Head | Image size 240x240 | Slice index 93
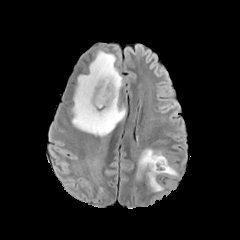
FLAIR MRI.
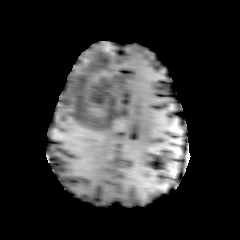
T1-weighted MR of the same slice.
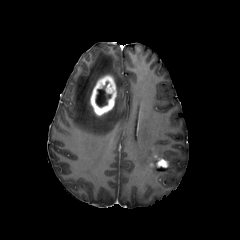
Post-contrast T1-weighted MR image of the same slice.
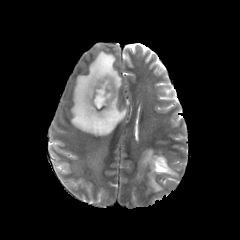
T2-weighted MRI of the same slice.
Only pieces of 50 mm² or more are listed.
* necrotic tumor core: [96, 89, 110, 106]
* enhancing tumor: [90, 75, 116, 115], [154, 155, 168, 167]
* peritumoral edema: [148, 163, 177, 190], [72, 51, 125, 136], [136, 149, 167, 182]